FLAIR MR image.
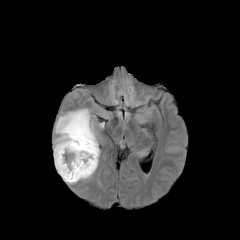
T1-weighted MRI.
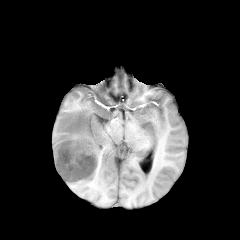
Post-contrast T1-weighted MR.
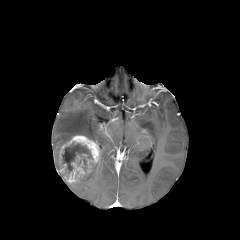
T2-weighted magnetic resonance.
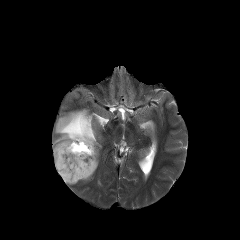
240x240. Head.
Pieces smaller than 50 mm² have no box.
The 2 largest peritumoral edema regions are bounded by box=[80, 161, 98, 180]; box=[53, 108, 98, 169]. The largest necrotic tumor core region is at box=[62, 142, 91, 172]. The enhancing tumor is bounded by box=[57, 135, 99, 183].